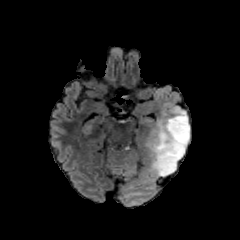
FLAIR MRI.
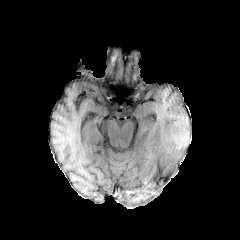
T1-weighted MR image.
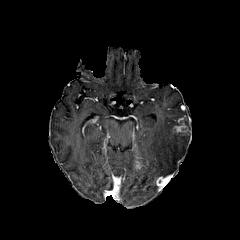
Post-contrast T1-weighted MR of the same slice.
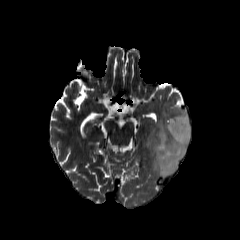
T2-weighted magnetic resonance of the same slice.
Axial plane; Image size 240x240; Brain
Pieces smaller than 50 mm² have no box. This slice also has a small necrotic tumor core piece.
peritumoral edema: 146 105 190 176
enhancing tumor: 172 115 187 133